Axial slice | Head
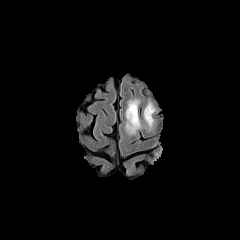
FLAIR MRI.
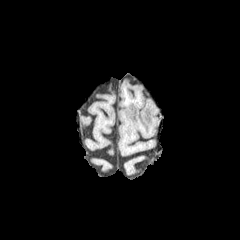
T1-weighted magnetic resonance.
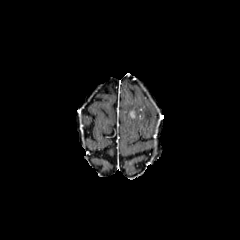
Post-contrast T1-weighted MR.
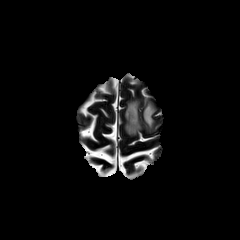
T2-weighted MR image.
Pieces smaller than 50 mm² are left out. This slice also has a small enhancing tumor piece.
2 peritumoral edema regions appear at (125,100,141,134), (143,102,155,128).